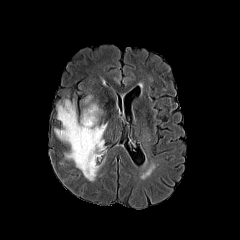
FLAIR magnetic resonance.
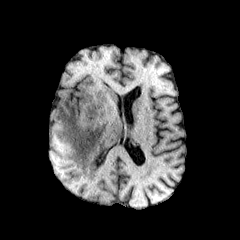
T1-weighted MR.
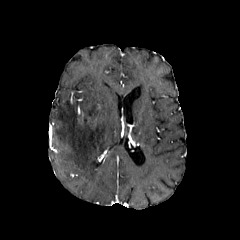
Post-contrast T1-weighted MR image.
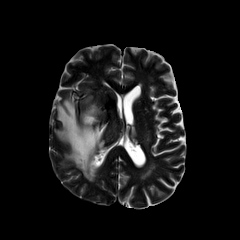
Same slice, T2-weighted magnetic resonance.
Axial plane | Head
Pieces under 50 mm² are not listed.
Findings:
- peritumoral edema: {"x1": 55, "y1": 99, "x2": 107, "y2": 181}